Head
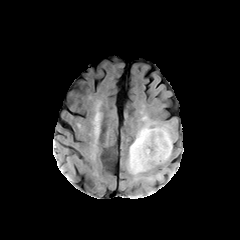
FLAIR MRI.
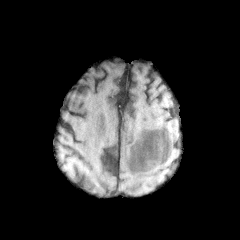
Same slice, T1-weighted MR.
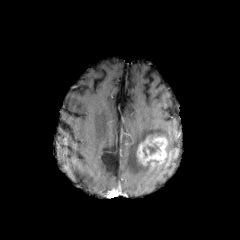
Post-contrast T1-weighted magnetic resonance.
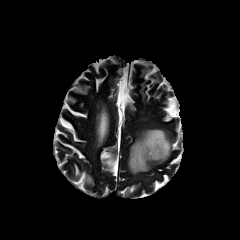
T2-weighted MRI.
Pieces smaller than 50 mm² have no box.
necrotic tumor core = (148,145,158,154)
peritumoral edema = (127,123,172,175)
enhancing tumor = (136,134,169,165)